Slice 59/155
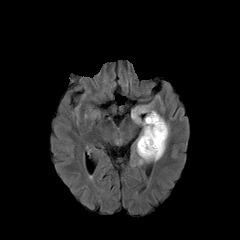
FLAIR MR image.
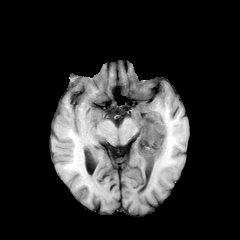
Same slice, T1-weighted MR.
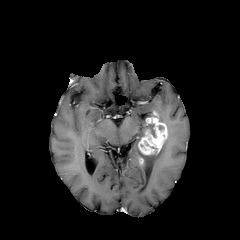
Post-contrast T1-weighted MR of the same slice.
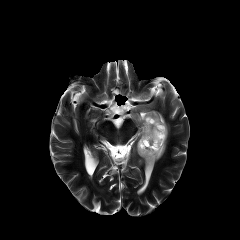
Same slice, T2-weighted MR.
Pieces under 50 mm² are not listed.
<segmentation>
  <enhancing_tumor>box=[138, 111, 167, 155]</enhancing_tumor>
  <peritumoral_edema>box=[130, 105, 169, 166]</peritumoral_edema>
  <necrotic_tumor_core>box=[149, 123, 156, 137]</necrotic_tumor_core>
</segmentation>